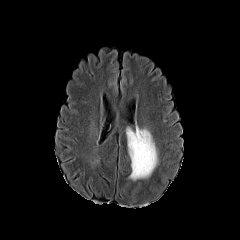
FLAIR magnetic resonance.
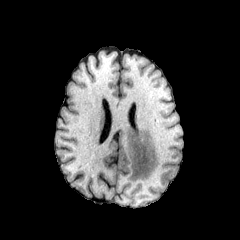
T1-weighted magnetic resonance of the same slice.
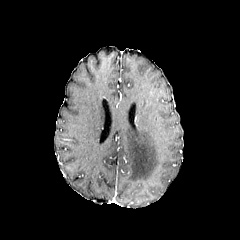
Post-contrast T1-weighted MR image.
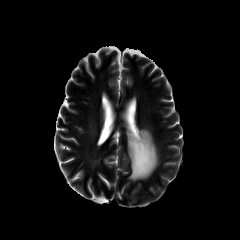
T2-weighted magnetic resonance of the same slice.
240x240 px, Brain, Axial slice
The peritumoral edema is bounded by (left=126, top=127, right=158, bottom=180).